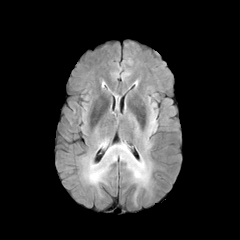
FLAIR MRI.
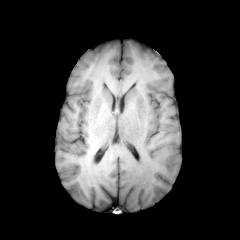
T1-weighted magnetic resonance of the same slice.
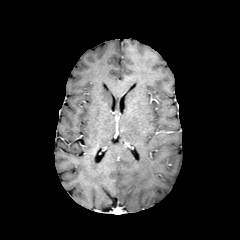
Same slice, post-contrast T1-weighted MR image.
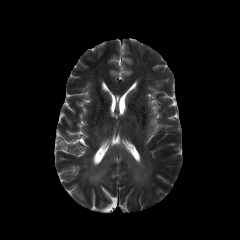
T2-weighted MRI of the same slice.
Axial view; Head
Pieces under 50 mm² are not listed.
peritumoral_edema:
  - {"x1": 149, "y1": 115, "x2": 156, "y2": 133}
  - {"x1": 85, "y1": 142, "x2": 150, "y2": 187}